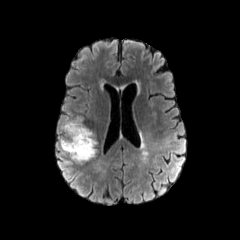
FLAIR MRI.
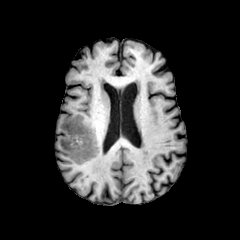
T1-weighted MR image.
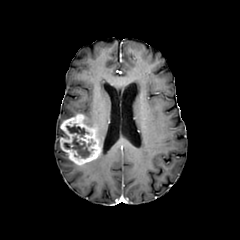
Post-contrast T1-weighted MR image.
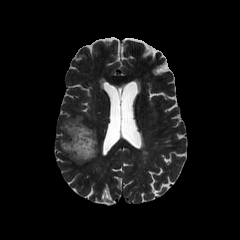
Same slice, T2-weighted MR.
Head
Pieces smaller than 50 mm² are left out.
The largest enhancing tumor region is located at {"x1": 60, "y1": 114, "x2": 100, "y2": 165}. The 2 largest necrotic tumor core regions appear at {"x1": 66, "y1": 124, "x2": 88, "y2": 137}, {"x1": 64, "y1": 136, "x2": 90, "y2": 158}.